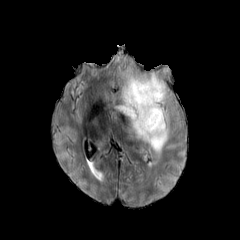
FLAIR magnetic resonance.
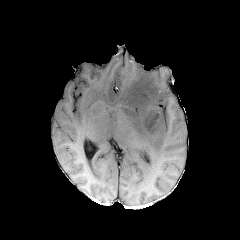
Same slice, T1-weighted MR image.
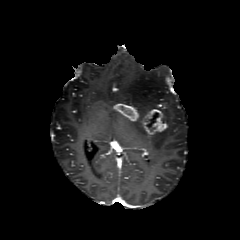
Same slice, post-contrast T1-weighted MR image.
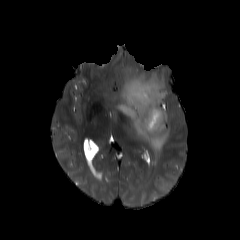
T2-weighted magnetic resonance.
Axial view
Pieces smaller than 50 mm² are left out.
enhancing tumor: 114 103 139 121, 141 107 167 134 | necrotic tumor core: 146 112 158 127 | peritumoral edema: 118 72 169 154